FLAIR magnetic resonance.
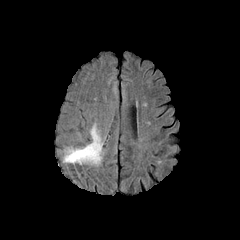
T1-weighted MR image.
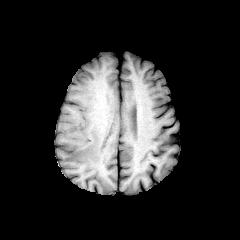
Post-contrast T1-weighted MR image.
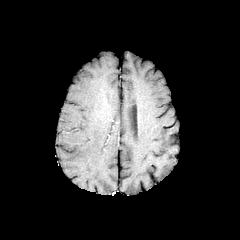
T2-weighted MRI.
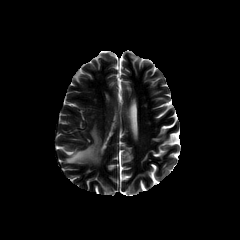
Head, 240x240 px, Axial plane
The peritumoral edema is bounded by left=63, top=125, right=102, bottom=164.